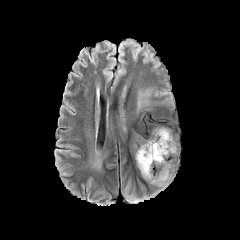
FLAIR MRI.
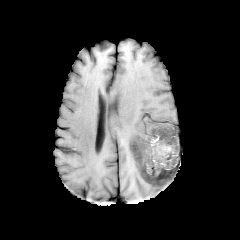
T1-weighted magnetic resonance.
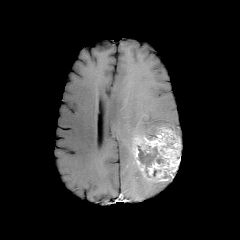
Post-contrast T1-weighted MR.
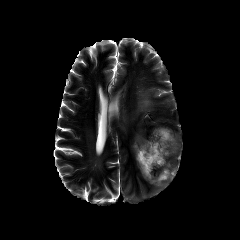
T2-weighted MR.
Image size 240x240; Head
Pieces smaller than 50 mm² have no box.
enhancing_tumor:
  - <bbox>131, 127, 180, 184</bbox>
necrotic_tumor_core:
  - <bbox>138, 146, 158, 168</bbox>
peritumoral_edema:
  - <bbox>150, 182, 169, 187</bbox>